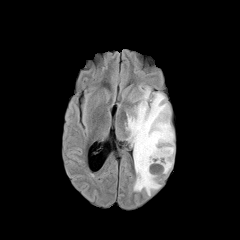
FLAIR magnetic resonance.
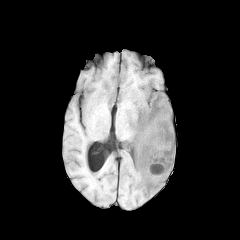
Same slice, T1-weighted MRI.
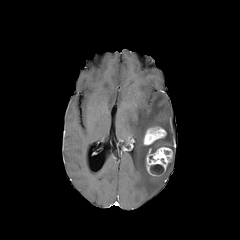
Same slice, post-contrast T1-weighted MR image.
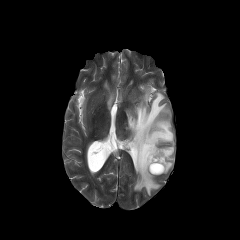
T2-weighted MRI of the same slice.
Axial view
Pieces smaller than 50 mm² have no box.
necrotic tumor core at [x1=150, y1=164, x2=163, y2=174]
peritumoral edema at [x1=126, y1=87, x2=174, y2=195]
enhancing tumor at [x1=143, y1=126, x2=166, y2=145], [x1=146, y1=147, x2=172, y2=175]